FLAIR MR image.
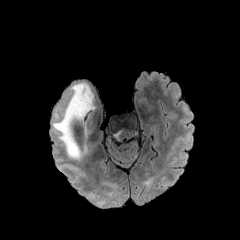
T1-weighted MRI.
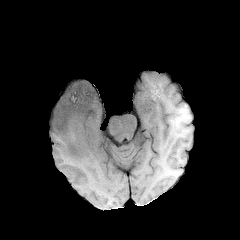
Post-contrast T1-weighted magnetic resonance.
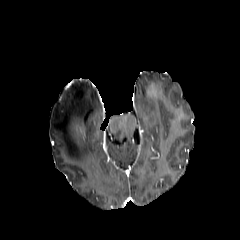
T2-weighted magnetic resonance.
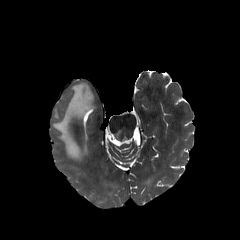
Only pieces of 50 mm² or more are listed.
Findings:
* peritumoral edema: 52, 83, 93, 160